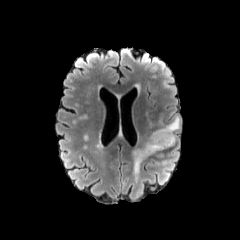
FLAIR MRI.
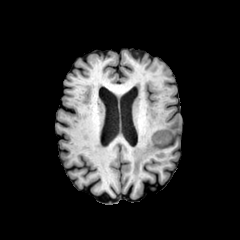
T1-weighted MR.
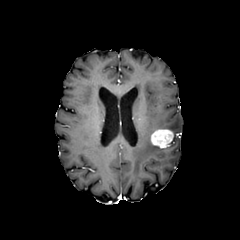
Post-contrast T1-weighted magnetic resonance.
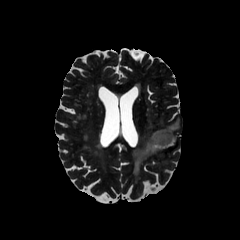
T2-weighted MRI.
Brain.
{
  "enhancing_tumor": [
    "150,129,173,148"
  ],
  "peritumoral_edema": [
    "131,130,164,176",
    "144,108,180,145"
  ]
}